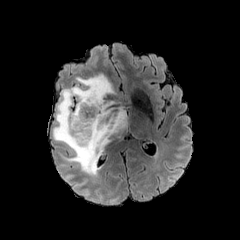
FLAIR MRI.
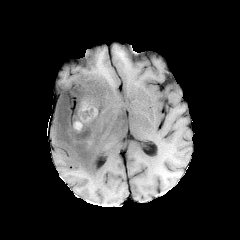
Same slice, T1-weighted MR.
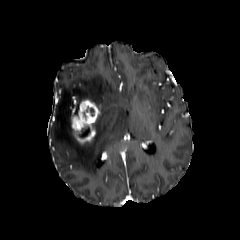
Post-contrast T1-weighted MR image of the same slice.
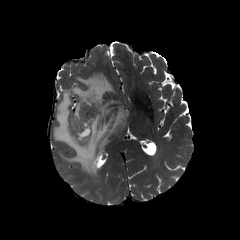
T2-weighted MRI.
Head, Axial view
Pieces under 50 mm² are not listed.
necrotic_tumor_core:
  - bbox=[79, 127, 89, 137]
peritumoral_edema:
  - bbox=[53, 74, 128, 176]
enhancing_tumor:
  - bbox=[71, 99, 100, 145]